240x240 px. Slice 70 of 155. Head. Axial view.
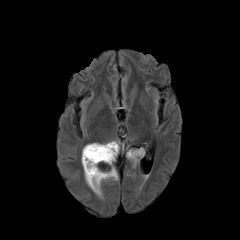
FLAIR MR.
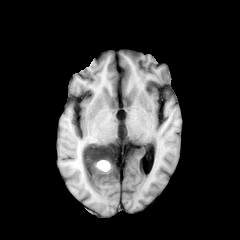
T1-weighted magnetic resonance.
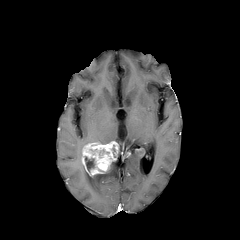
Post-contrast T1-weighted magnetic resonance of the same slice.
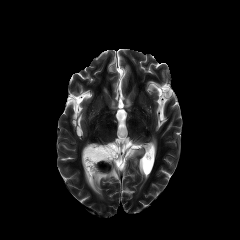
T2-weighted MRI.
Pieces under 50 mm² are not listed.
Annotated regions:
* necrotic tumor core: (x1=85, y1=157, x2=94, y2=171)
* enhancing tumor: (x1=82, y1=141, x2=119, y2=176)
* peritumoral edema: (x1=127, y1=148, x2=145, y2=166), (x1=83, y1=164, x2=118, y2=197)